FLAIR magnetic resonance.
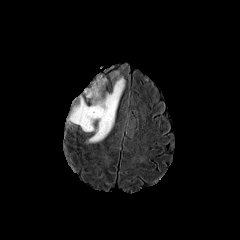
T1-weighted magnetic resonance.
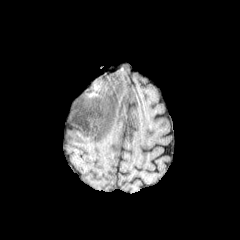
Post-contrast T1-weighted MRI.
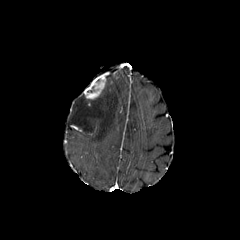
T2-weighted MRI.
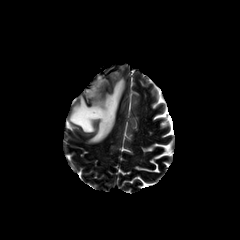
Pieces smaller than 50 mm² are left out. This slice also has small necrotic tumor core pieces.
Findings:
- enhancing tumor: x1=84, y1=75, x2=106, y2=99
- peritumoral edema: x1=68, y1=77, x2=125, y2=142